Slice 70/155.
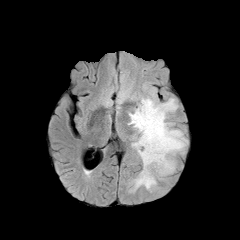
FLAIR MR image.
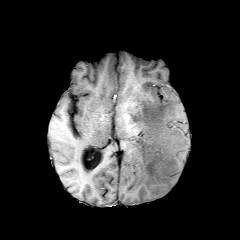
Same slice, T1-weighted MR.
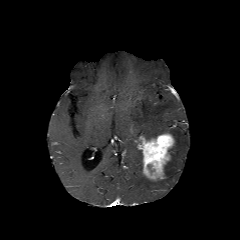
Post-contrast T1-weighted MRI of the same slice.
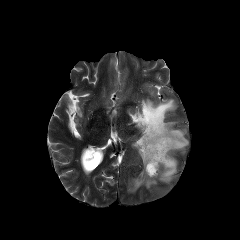
T2-weighted magnetic resonance of the same slice.
3 peritumoral edema regions are located at (x1=129, y1=169, x2=157, y2=192), (x1=129, y1=98, x2=188, y2=182), (x1=131, y1=138, x2=142, y2=163). The enhancing tumor is located at (x1=137, y1=133, x2=174, y2=180).